FLAIR MR image.
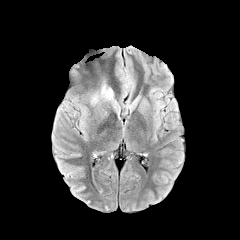
T1-weighted MRI.
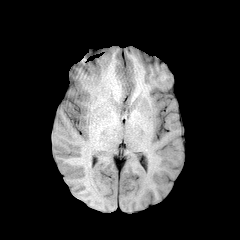
Post-contrast T1-weighted magnetic resonance.
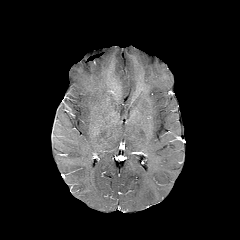
T2-weighted magnetic resonance.
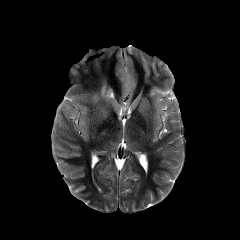
Image size 240x240. Head.
peritumoral edema: [92, 85, 116, 104]